Slice index 77; Head
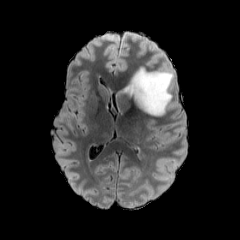
FLAIR MR.
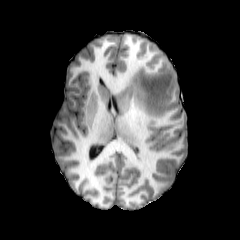
T1-weighted MR image.
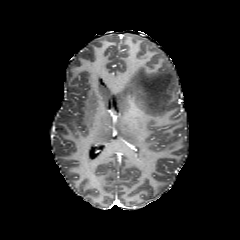
Post-contrast T1-weighted magnetic resonance.
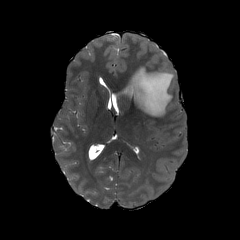
T2-weighted MR image.
* peritumoral edema: {"x1": 122, "y1": 66, "x2": 175, "y2": 116}